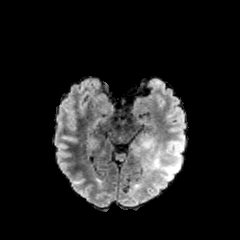
FLAIR magnetic resonance.
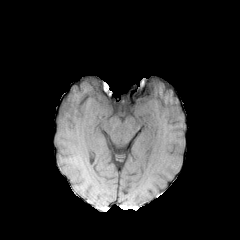
T1-weighted magnetic resonance of the same slice.
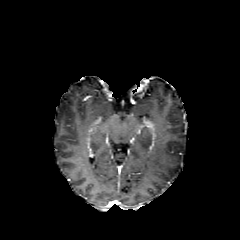
Post-contrast T1-weighted MR.
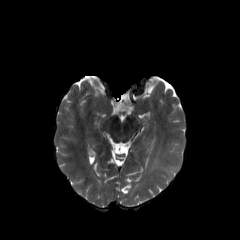
Same slice, T2-weighted MR image.
The peritumoral edema is at region(150, 141, 184, 180).